Slice index 78.
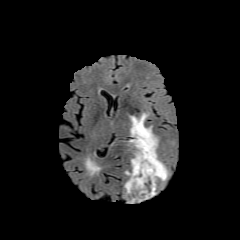
FLAIR MR.
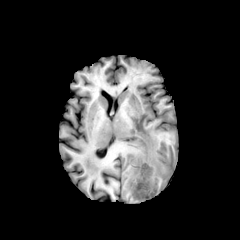
Same slice, T1-weighted MR.
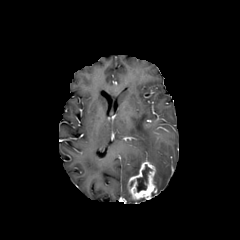
Post-contrast T1-weighted MR.
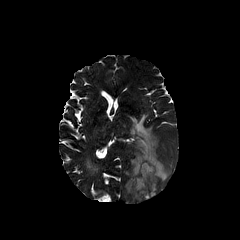
T2-weighted magnetic resonance of the same slice.
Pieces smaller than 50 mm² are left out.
The largest peritumoral edema region is at box(125, 113, 169, 184). The enhancing tumor is at box(127, 160, 156, 199). The largest necrotic tumor core region is at box(137, 165, 151, 191).